Brain, Image width 240 mm, Image size 240x240
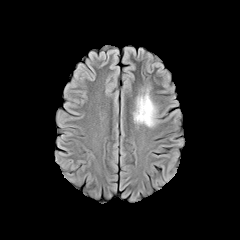
FLAIR MRI.
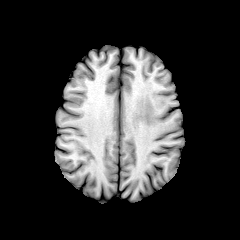
T1-weighted MR image of the same slice.
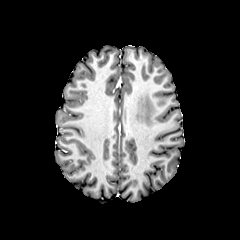
Post-contrast T1-weighted MR image.
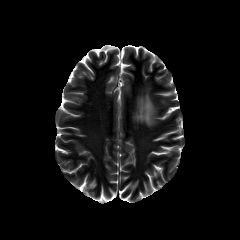
T2-weighted magnetic resonance of the same slice.
peritumoral edema = <bbox>134, 90, 156, 127</bbox>